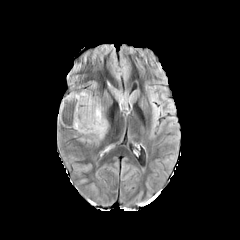
FLAIR magnetic resonance.
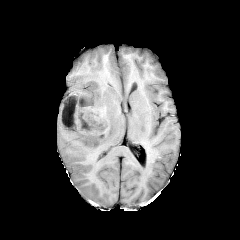
Same slice, T1-weighted magnetic resonance.
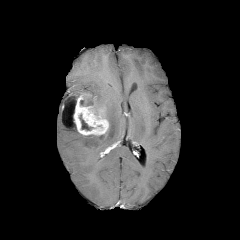
Post-contrast T1-weighted MRI.
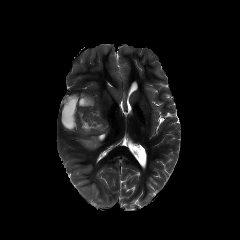
T2-weighted MR of the same slice.
Axial slice. Brain.
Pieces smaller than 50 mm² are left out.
peritumoral edema: rect(80, 134, 105, 144); rect(94, 92, 111, 115) | necrotic tumor core: rect(79, 114, 92, 130); rect(86, 97, 93, 105); rect(61, 98, 76, 128) | enhancing tumor: rect(59, 94, 108, 135)